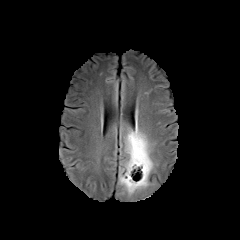
FLAIR MR image.
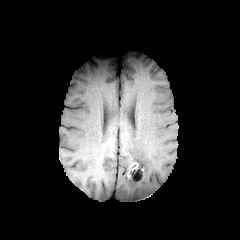
Same slice, T1-weighted MR.
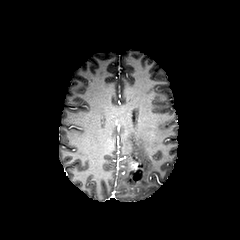
Same slice, post-contrast T1-weighted MR image.
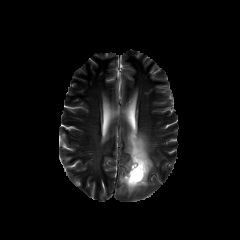
T2-weighted MR.
Head; 240x240 px
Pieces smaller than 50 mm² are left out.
The largest necrotic tumor core region lies within [129, 169, 142, 181]. The peritumoral edema lies within [119, 124, 153, 194]. The largest enhancing tumor region is bounded by [130, 163, 143, 179].